Brain; 240x240
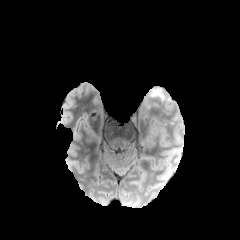
FLAIR MR.
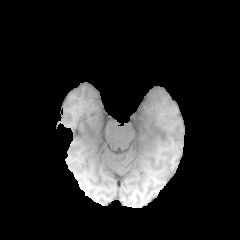
T1-weighted MR of the same slice.
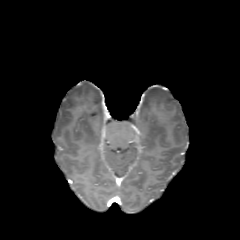
Post-contrast T1-weighted MR.
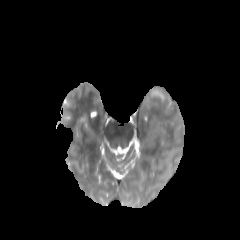
T2-weighted magnetic resonance of the same slice.
Segmented structures:
• peritumoral edema: box=[154, 88, 170, 101]